FLAIR MR image.
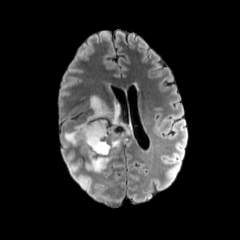
T1-weighted MR image.
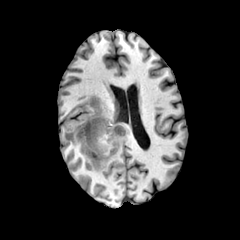
Post-contrast T1-weighted MR image.
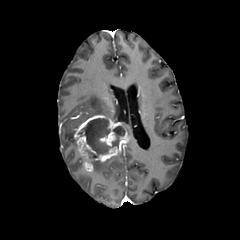
T2-weighted MRI.
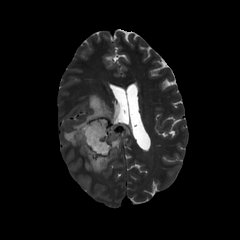
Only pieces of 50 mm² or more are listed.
Annotated regions:
- enhancing tumor: l=73, t=114, r=123, b=171; l=94, t=128, r=128, b=162
- necrotic tumor core: l=78, t=118, r=125, b=159
- peritumoral edema: l=64, t=124, r=79, b=145; l=86, t=95, r=119, b=119; l=91, t=159, r=109, b=172